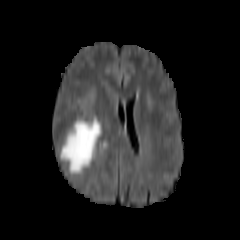
FLAIR MR.
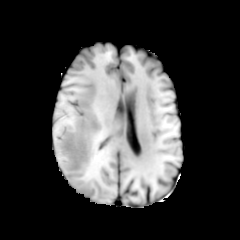
T1-weighted MRI of the same slice.
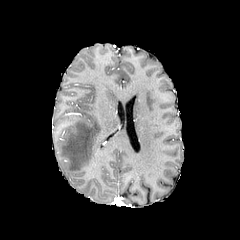
Post-contrast T1-weighted magnetic resonance.
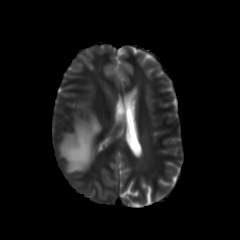
T2-weighted MRI.
peritumoral edema: bounding box [60, 116, 102, 174]